Axial view | Slice 94 of 155
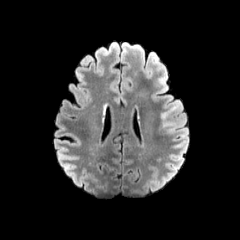
FLAIR MR.
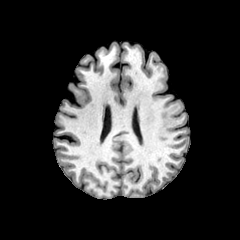
T1-weighted MR image.
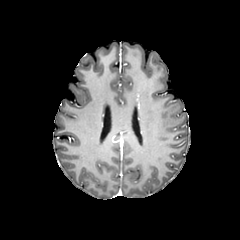
Same slice, post-contrast T1-weighted magnetic resonance.
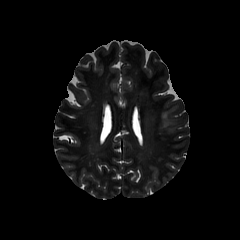
T2-weighted MR of the same slice.
{
  "peritumoral_edema": [
    "(x1=162, y1=108, x2=176, y2=127)"
  ]
}